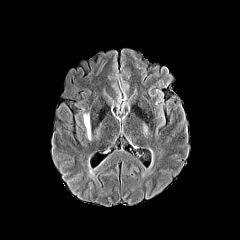
FLAIR MR image.
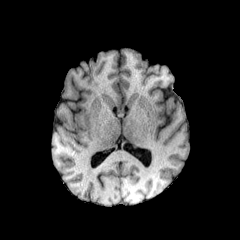
T1-weighted magnetic resonance.
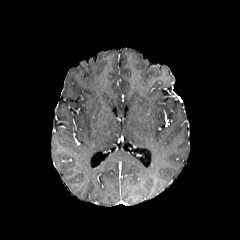
Post-contrast T1-weighted MR image of the same slice.
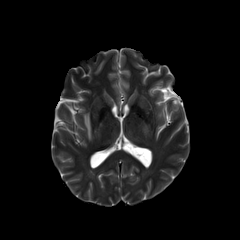
Same slice, T2-weighted MRI.
Head.
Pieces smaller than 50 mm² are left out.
The largest peritumoral edema region appears at [83,113,91,140].